FLAIR MRI.
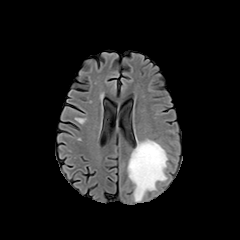
T1-weighted MR.
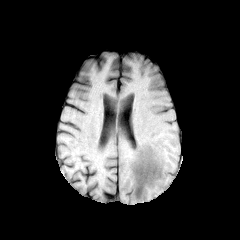
Post-contrast T1-weighted MR.
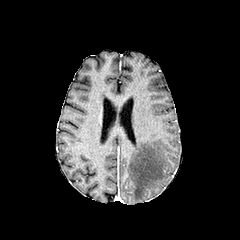
T2-weighted MR image.
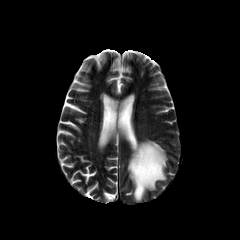
Image size 240x240 | Brain
- peritumoral edema: [x1=128, y1=140, x2=167, y2=201]